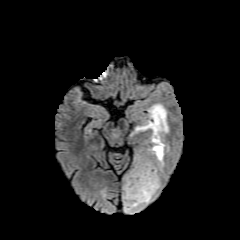
FLAIR MR image.
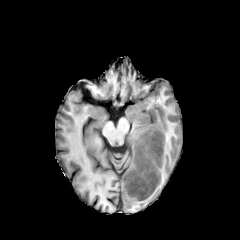
T1-weighted MR of the same slice.
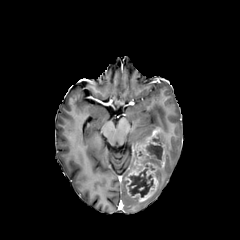
Post-contrast T1-weighted magnetic resonance.
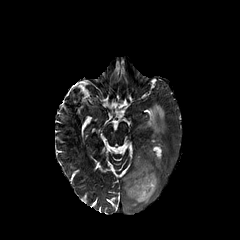
Same slice, T2-weighted magnetic resonance.
Image size 240x240
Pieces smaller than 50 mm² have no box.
The 2 largest necrotic tumor core regions appear at [x1=128, y1=165, x2=154, y2=197], [x1=143, y1=134, x2=162, y2=166]. The largest enhancing tumor region is located at [x1=125, y1=127, x2=164, y2=201]. 2 peritumoral edema regions are bounded by [x1=123, y1=167, x2=162, y2=212], [x1=133, y1=103, x2=168, y2=153].